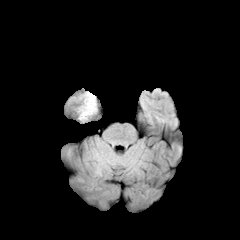
FLAIR magnetic resonance.
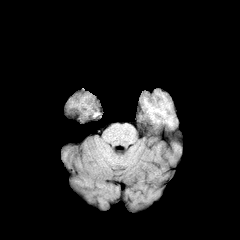
Same slice, T1-weighted magnetic resonance.
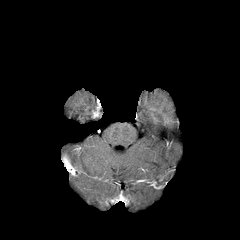
Same slice, post-contrast T1-weighted magnetic resonance.
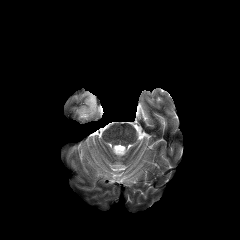
T2-weighted MR image.
Axial plane, 240x240 px, Head
The peritumoral edema is at 79 91 96 119.